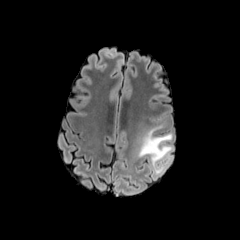
FLAIR MR.
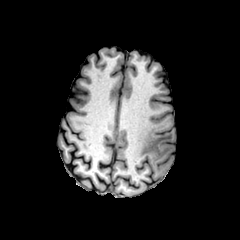
T1-weighted MRI of the same slice.
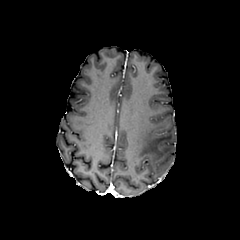
Same slice, post-contrast T1-weighted MRI.
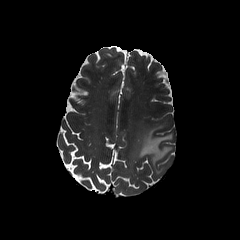
Same slice, T2-weighted MR.
Brain; Axial view
peritumoral edema: {"x1": 137, "y1": 125, "x2": 173, "y2": 174}